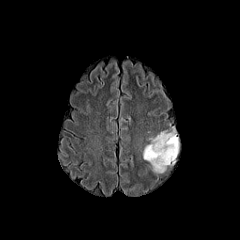
FLAIR MR image.
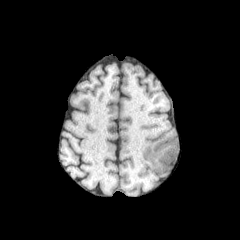
Same slice, T1-weighted MR image.
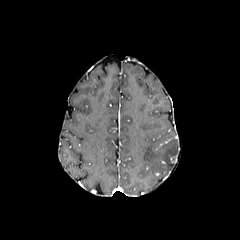
Post-contrast T1-weighted MRI.
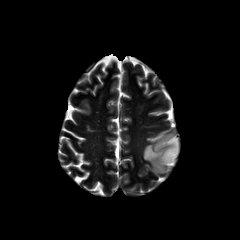
T2-weighted MR image.
240x240. Head.
The peritumoral edema is bounded by box(143, 130, 178, 172).